FLAIR MR image.
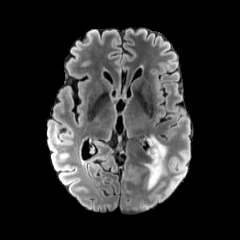
T1-weighted MR image.
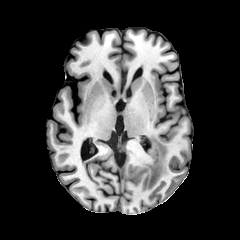
Post-contrast T1-weighted MRI.
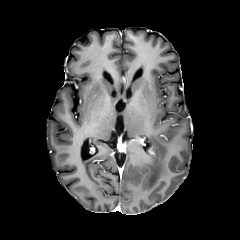
T2-weighted MRI.
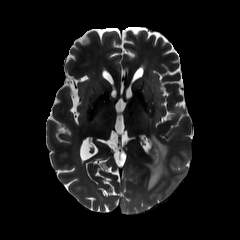
Brain | 240x240
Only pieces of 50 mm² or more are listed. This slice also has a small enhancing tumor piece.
Annotated regions:
• peritumoral edema: [144,136,166,189]